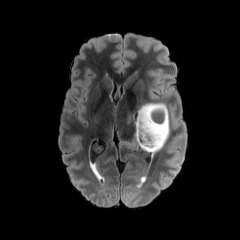
FLAIR MRI.
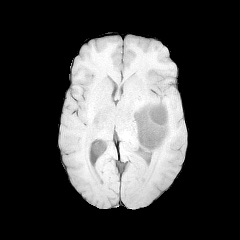
T1-weighted magnetic resonance.
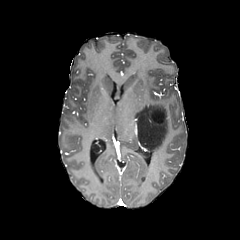
Post-contrast T1-weighted MRI.
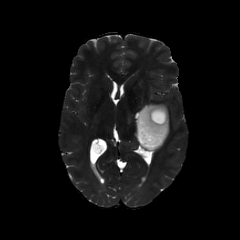
T2-weighted MR image.
Axial view
enhancing tumor: x1=149, y1=106, x2=166, y2=124 | necrotic tumor core: x1=151, y1=109, x2=164, y2=123 | peritumoral edema: x1=135, y1=103, x2=169, y2=153